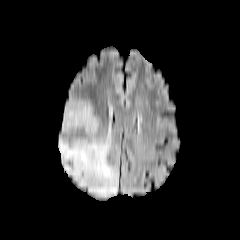
FLAIR magnetic resonance.
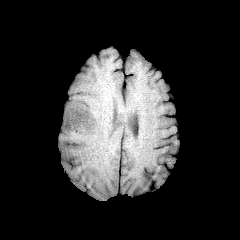
T1-weighted MR of the same slice.
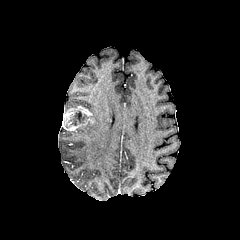
Same slice, post-contrast T1-weighted MR.
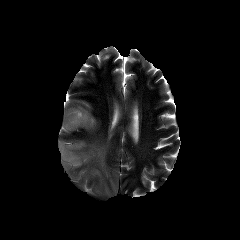
T2-weighted MRI.
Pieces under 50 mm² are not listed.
necrotic tumor core: 69:111:88:125 | peritumoral edema: 64:100:91:112, 71:115:98:134, 58:124:117:197 | enhancing tumor: 62:106:94:131